Slice index 52; 240x240
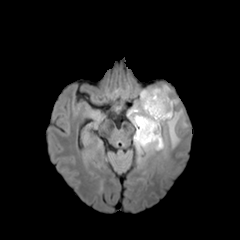
FLAIR magnetic resonance.
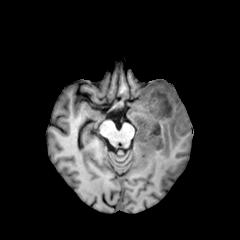
T1-weighted MR image.
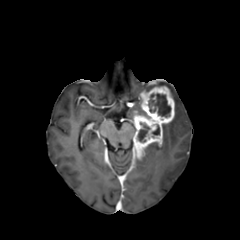
Post-contrast T1-weighted MR.
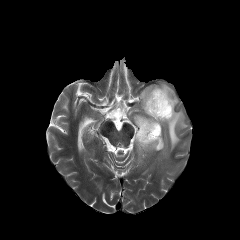
T2-weighted MR.
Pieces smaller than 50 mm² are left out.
Annotated regions:
- peritumoral edema: region(137, 109, 187, 163); region(127, 98, 146, 121); region(161, 84, 178, 106)
- necrotic tumor core: region(152, 126, 159, 135); region(148, 93, 170, 116); region(138, 123, 149, 142)
- enhancing tumor: region(133, 86, 174, 159)